FLAIR MR.
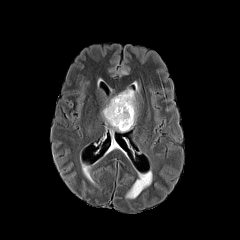
T1-weighted MR.
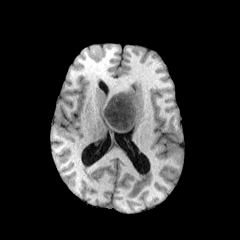
Post-contrast T1-weighted MR image.
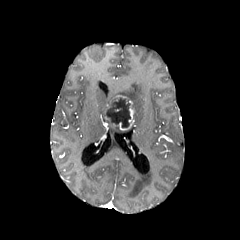
T2-weighted MRI.
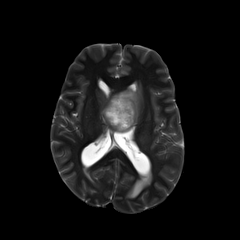
Head | 240x240
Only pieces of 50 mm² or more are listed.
enhancing tumor: {"x1": 114, "y1": 95, "x2": 127, "y2": 103}, {"x1": 111, "y1": 100, "x2": 134, "y2": 130}
peritumoral edema: {"x1": 119, "y1": 89, "x2": 137, "y2": 126}
necrotic tumor core: {"x1": 105, "y1": 98, "x2": 130, "y2": 127}